FLAIR MR image.
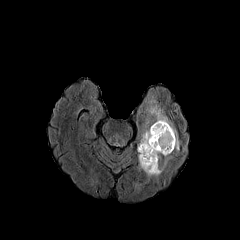
T1-weighted MR image.
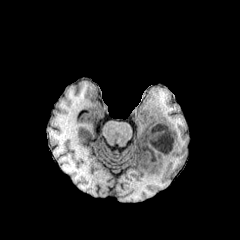
Post-contrast T1-weighted MR.
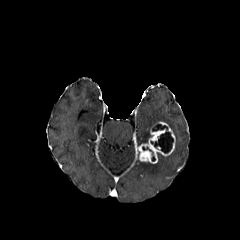
T2-weighted MRI.
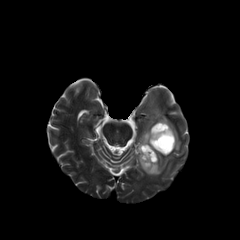
Head
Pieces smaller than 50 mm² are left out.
{"peritumoral_edema": ["l=139, t=156, r=172, b=177", "l=139, t=100, r=180, b=150"], "enhancing_tumor": ["l=138, t=121, r=175, b=163"], "necrotic_tumor_core": ["l=150, t=124, r=173, b=153", "l=142, t=146, r=155, b=161"]}